FLAIR MR image.
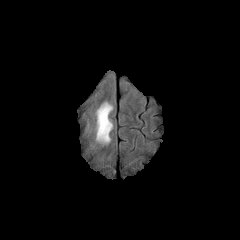
T1-weighted MR image.
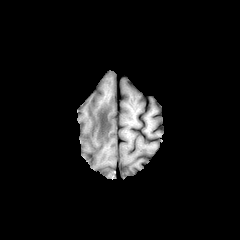
Post-contrast T1-weighted MR image.
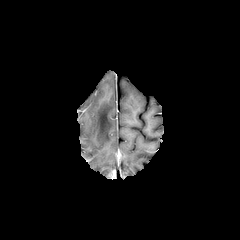
T2-weighted MR.
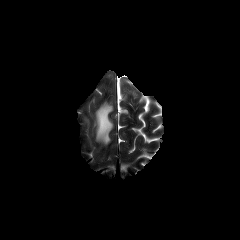
240x240. Axial plane. Head.
peritumoral edema = bbox=[96, 102, 112, 144]